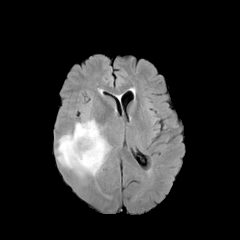
FLAIR MR image.
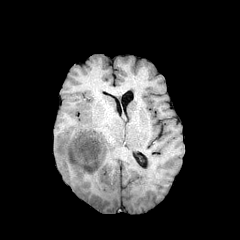
Same slice, T1-weighted MR.
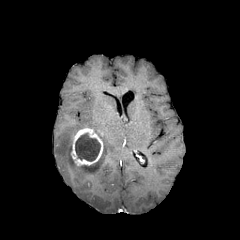
Post-contrast T1-weighted MR image of the same slice.
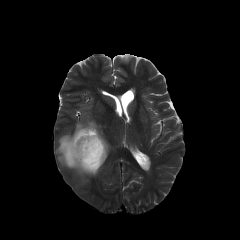
T2-weighted MR of the same slice.
Brain. Axial view. 240x240.
The peritumoral edema is at box(56, 119, 110, 179). The necrotic tumor core lies within box(75, 133, 100, 161). The enhancing tumor is located at box(70, 127, 103, 165).